Slice index 86 | Axial plane
FLAIR magnetic resonance.
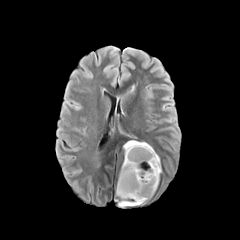
T1-weighted magnetic resonance.
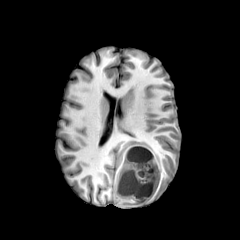
Post-contrast T1-weighted MR image.
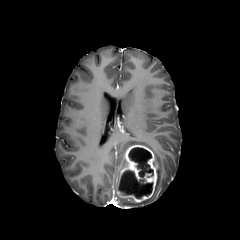
T2-weighted MRI.
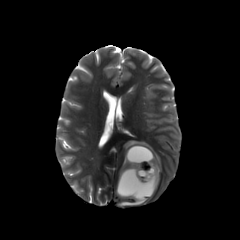
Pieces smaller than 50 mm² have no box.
peritumoral edema: <bbox>119, 201, 144, 206</bbox>, <bbox>123, 140, 161, 190</bbox>
enhancing tumor: <bbox>117, 145, 157, 202</bbox>
necrotic tumor core: <bbox>128, 147, 153, 177</bbox>, <bbox>118, 170, 152, 198</bbox>